FLAIR MR image.
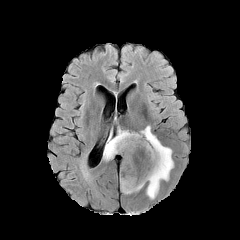
T1-weighted MR.
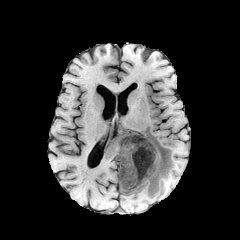
Post-contrast T1-weighted magnetic resonance.
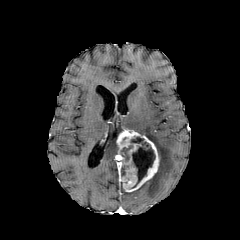
T2-weighted MRI.
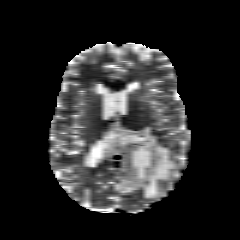
Image size 240x240
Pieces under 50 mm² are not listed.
necrotic tumor core: bounding box bbox(131, 137, 154, 187)
peritumoral edema: bounding box bbox(138, 126, 173, 199); bbox(103, 132, 118, 160); bbox(120, 145, 132, 160)
enhancing tumor: bounding box bbox(116, 129, 159, 192)